FLAIR MRI.
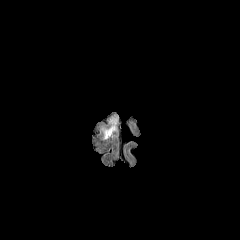
T1-weighted MR image.
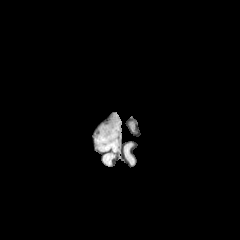
Post-contrast T1-weighted MR image.
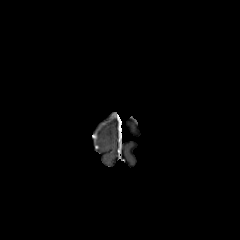
T2-weighted magnetic resonance.
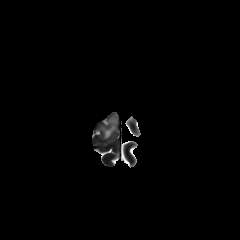
Head; Axial plane
- peritumoral edema: box(101, 119, 116, 139)